FLAIR MR image.
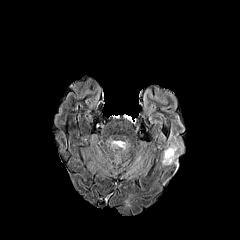
T1-weighted MR image.
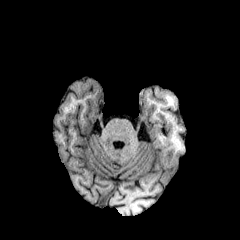
Post-contrast T1-weighted MRI.
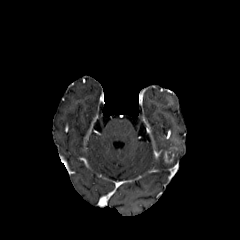
T2-weighted MR.
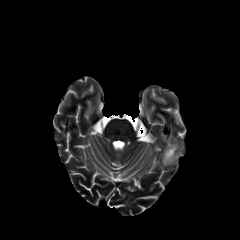
Brain
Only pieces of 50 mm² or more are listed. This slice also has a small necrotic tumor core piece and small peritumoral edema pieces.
enhancing tumor: (164, 151, 174, 162)